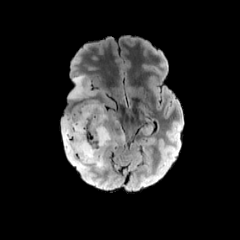
FLAIR MRI.
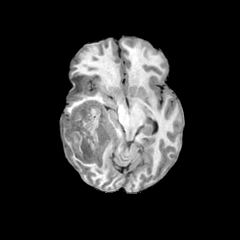
T1-weighted MR image.
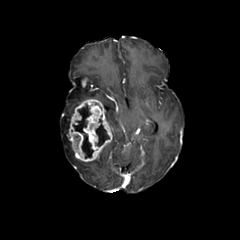
Same slice, post-contrast T1-weighted MR image.
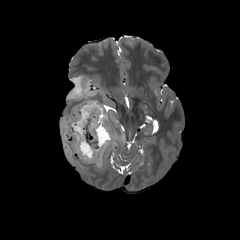
Same slice, T2-weighted MR image.
Head
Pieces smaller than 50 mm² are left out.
peritumoral edema = x1=61, y1=114, x2=114, y2=171; x1=68, y1=75, x2=96, y2=99
enhancing tumor = x1=67, y1=99, x2=113, y2=161
necrotic tumor core = x1=73, y1=104, x2=93, y2=158; x1=95, y1=119, x2=109, y2=146